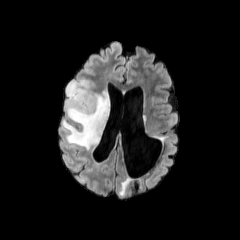
FLAIR MR.
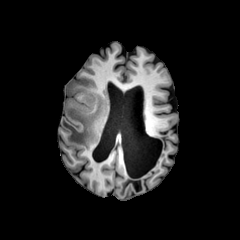
T1-weighted MR image of the same slice.
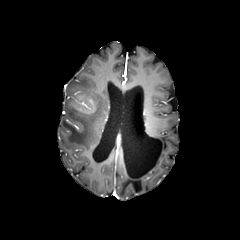
Post-contrast T1-weighted MR.
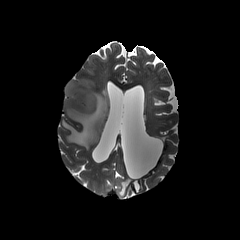
T2-weighted magnetic resonance of the same slice.
Brain
enhancing tumor: {"x1": 74, "y1": 99, "x2": 92, "y2": 110} | peritumoral edema: {"x1": 61, "y1": 81, "x2": 109, "y2": 149}